Slice index 62, 240x240 px, Brain, Image width 240 mm, 1.00 mm slice spacing
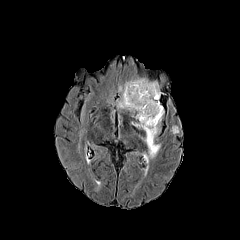
FLAIR magnetic resonance.
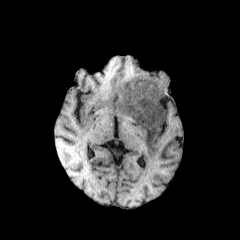
T1-weighted MRI.
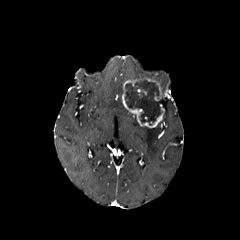
Post-contrast T1-weighted MR.
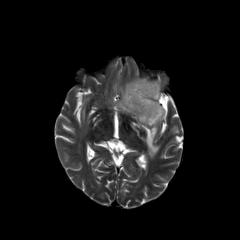
T2-weighted MR.
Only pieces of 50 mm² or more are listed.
necrotic tumor core: bounding box box(125, 80, 161, 124)
peritumoral edema: bounding box box(132, 123, 160, 158); box(117, 97, 124, 108)
enhancing tumor: bounding box box(121, 78, 164, 128)